FLAIR MRI.
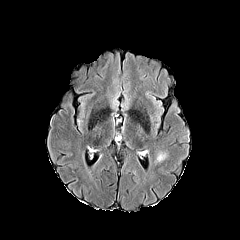
T1-weighted MRI.
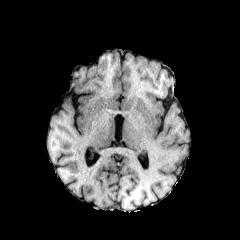
Post-contrast T1-weighted magnetic resonance.
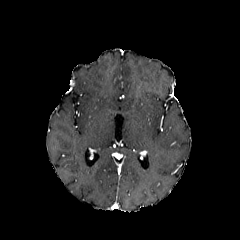
T2-weighted magnetic resonance.
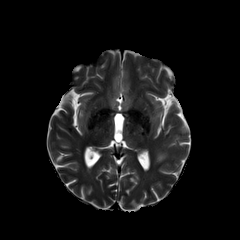
240x240 px.
Findings:
- peritumoral edema: box(156, 153, 166, 161)